Axial plane. Slice 63/155. Brain.
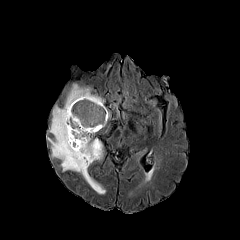
FLAIR MRI.
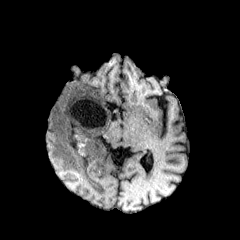
T1-weighted MRI.
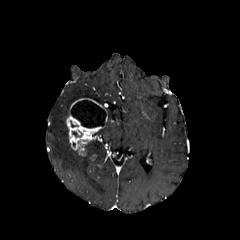
Post-contrast T1-weighted MRI.
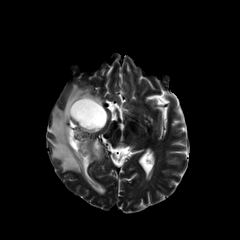
T2-weighted magnetic resonance.
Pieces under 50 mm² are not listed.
necrotic tumor core: box=[70, 100, 106, 127]
enhancing tumor: box=[66, 98, 107, 155]
peritumoral edema: box=[47, 83, 105, 194]